Slice index 78 | Axial plane
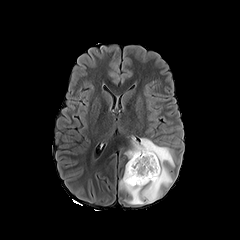
FLAIR magnetic resonance.
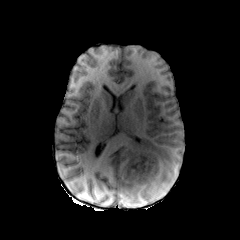
T1-weighted magnetic resonance of the same slice.
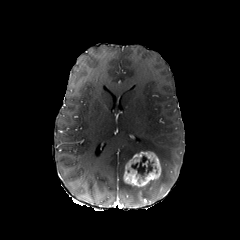
Post-contrast T1-weighted magnetic resonance of the same slice.
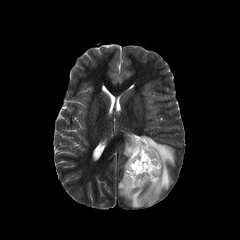
T2-weighted MR image of the same slice.
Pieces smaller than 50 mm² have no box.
necrotic tumor core: bounding box (x1=131, y1=155, x2=154, y2=178)
enhancing tumor: bounding box (x1=123, y1=151, x2=161, y2=187)
peritumoral edema: bounding box (x1=119, y1=135, x2=174, y2=204)